Image size 240x240 | Image width 240 mm
FLAIR MR image.
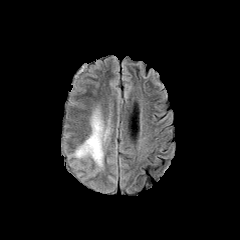
T1-weighted MRI.
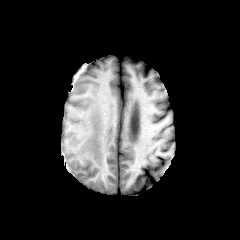
Post-contrast T1-weighted MR image.
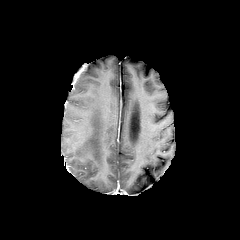
T2-weighted magnetic resonance.
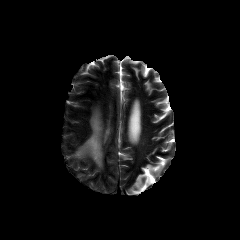
peritumoral edema: <box>76,116,102,164</box>